FLAIR MR image.
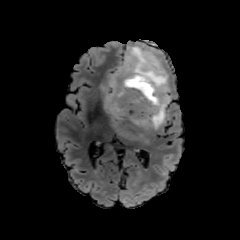
T1-weighted MR image.
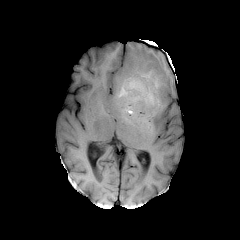
Post-contrast T1-weighted MRI.
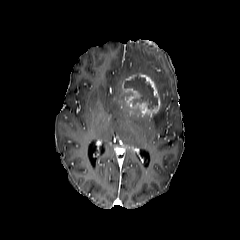
T2-weighted MR.
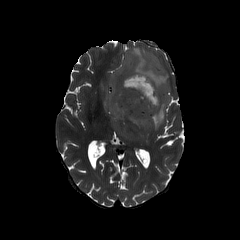
Image size 240x240
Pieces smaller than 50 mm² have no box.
enhancing tumor — (122, 72, 160, 116)
peritumoral edema — (101, 46, 173, 139)
necrotic tumor core — (125, 75, 157, 108)